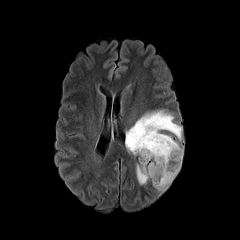
FLAIR magnetic resonance.
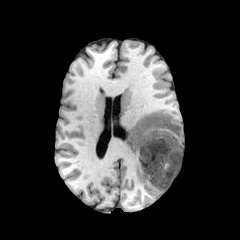
T1-weighted MR image.
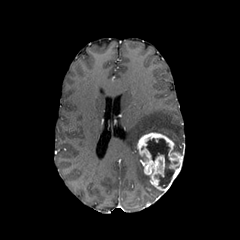
Post-contrast T1-weighted MR image.
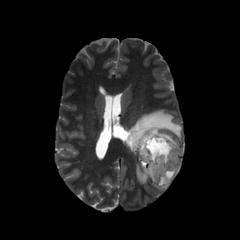
T2-weighted MRI.
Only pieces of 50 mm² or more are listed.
Annotated regions:
• peritumoral edema: <box>125,110,182,155</box>, <box>173,141,183,153</box>, <box>136,162,149,184</box>
• necrotic tumor core: <box>146,138,174,188</box>
• enhancing tumor: <box>136,132,183,192</box>